240x240
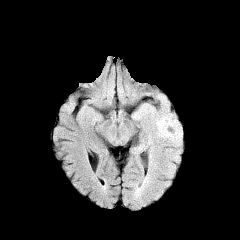
FLAIR MRI.
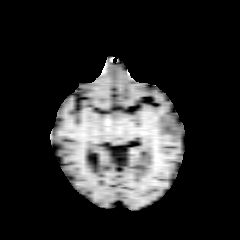
T1-weighted MR image.
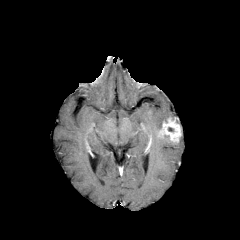
Same slice, post-contrast T1-weighted MRI.
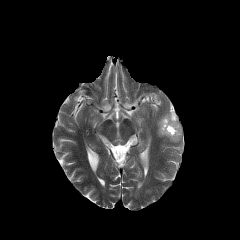
T2-weighted MR image.
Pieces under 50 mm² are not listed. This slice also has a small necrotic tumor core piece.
<segmentation>
  <peritumoral_edema>[x1=156, y1=114, x2=170, y2=130]</peritumoral_edema>
  <enhancing_tumor>[x1=158, y1=113, x2=182, y2=142]</enhancing_tumor>
</segmentation>